Axial plane
FLAIR magnetic resonance.
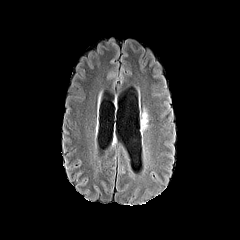
T1-weighted MR image.
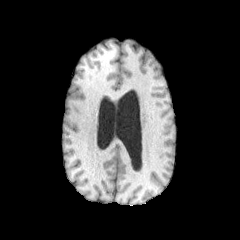
Post-contrast T1-weighted MR.
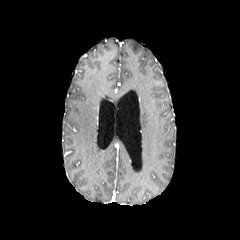
T2-weighted MR image.
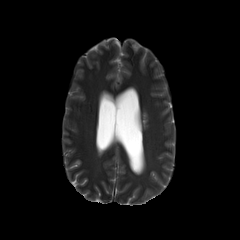
peritumoral edema: bounding box x1=141, y1=109, x2=148, y2=130